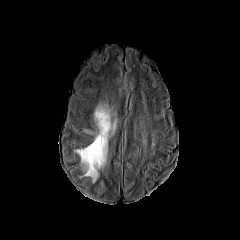
FLAIR MR.
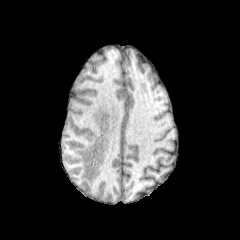
Same slice, T1-weighted MRI.
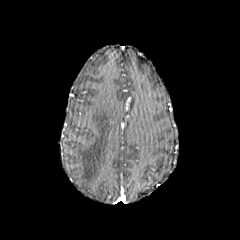
Post-contrast T1-weighted MRI.
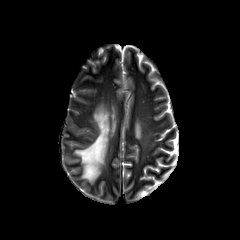
T2-weighted MR image of the same slice.
peritumoral edema: l=75, t=105, r=116, b=182